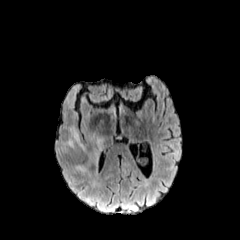
FLAIR MRI.
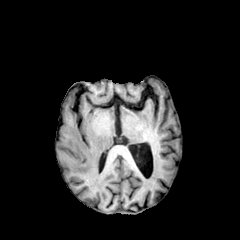
T1-weighted MRI.
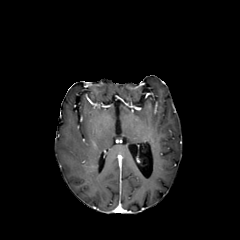
Same slice, post-contrast T1-weighted MRI.
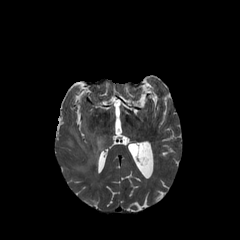
T2-weighted MR.
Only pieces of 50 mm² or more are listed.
{
  "peritumoral_edema": [
    "box(75, 137, 104, 171)",
    "box(67, 132, 85, 151)"
  ]
}